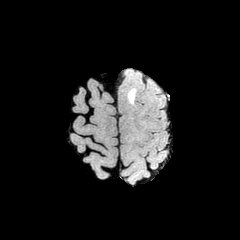
FLAIR magnetic resonance.
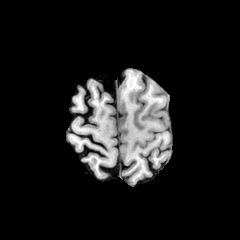
Same slice, T1-weighted MR image.
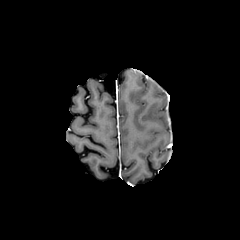
Post-contrast T1-weighted MRI of the same slice.
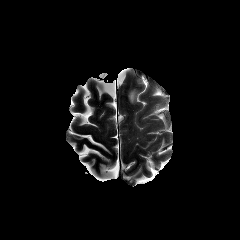
T2-weighted magnetic resonance.
240x240 px, Brain
<segmentation>
  <peritumoral_edema>(x1=128, y1=89, x2=135, y2=103)</peritumoral_edema>
</segmentation>